Axial plane, Brain, Slice 78/155
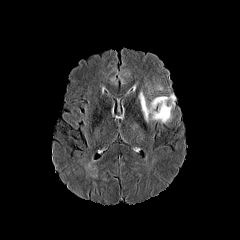
FLAIR magnetic resonance.
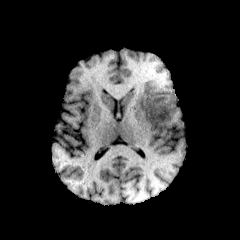
T1-weighted MR of the same slice.
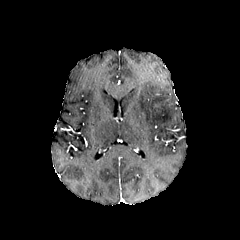
Post-contrast T1-weighted MR image of the same slice.
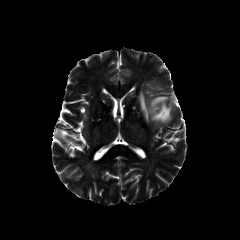
T2-weighted magnetic resonance.
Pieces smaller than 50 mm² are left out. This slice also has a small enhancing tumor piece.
<segmentation>
  <peritumoral_edema>138 91 175 123</peritumoral_edema>
</segmentation>